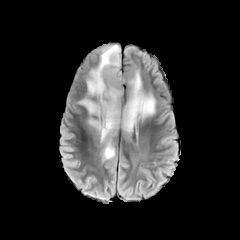
FLAIR MR.
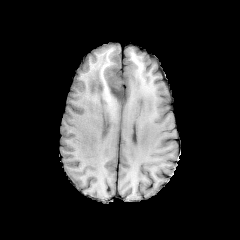
T1-weighted MRI of the same slice.
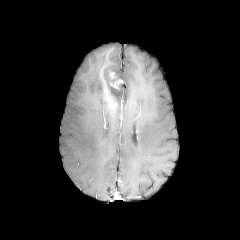
Post-contrast T1-weighted MR.
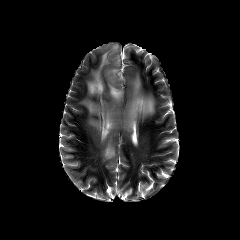
T2-weighted magnetic resonance.
enhancing tumor: (left=105, top=69, right=123, bottom=89)
peritumoral edema: (left=122, top=68, right=155, bottom=140), (left=78, top=44, right=124, bottom=162)